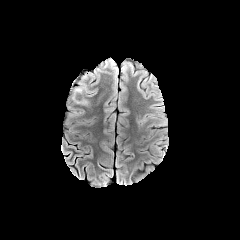
FLAIR magnetic resonance.
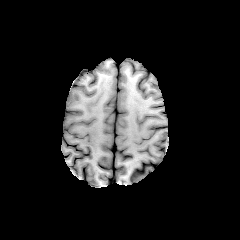
T1-weighted MR.
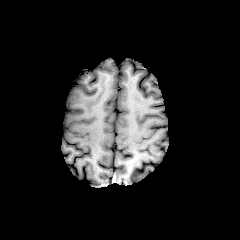
Post-contrast T1-weighted magnetic resonance of the same slice.
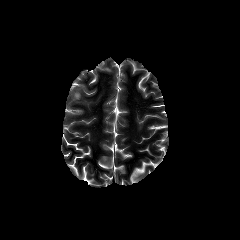
T2-weighted MRI of the same slice.
Axial plane. Brain. 240x240.
peritumoral edema: 72,83,88,104